Slice 60/155, Axial plane, Image width 240 mm
FLAIR MR image.
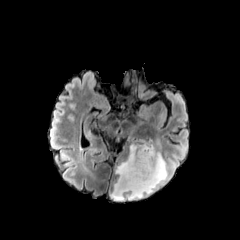
T1-weighted MR.
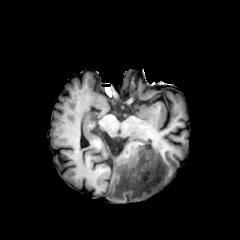
Post-contrast T1-weighted MR image.
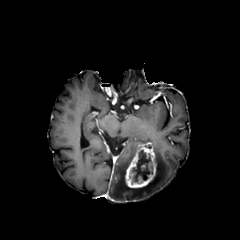
T2-weighted MRI.
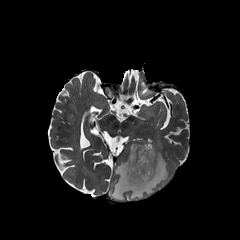
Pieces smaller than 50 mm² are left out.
The peritumoral edema appears at [x1=110, y1=138, x2=168, y2=201]. The necrotic tumor core is located at [x1=128, y1=150, x2=152, y2=184]. The largest enhancing tumor region is bounded by [x1=125, y1=143, x2=156, y2=188].